Slice 130/155 | 240x240
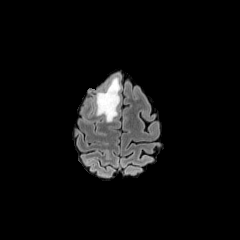
FLAIR magnetic resonance.
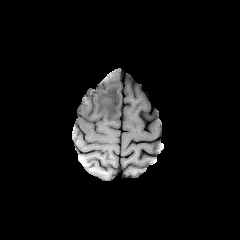
T1-weighted magnetic resonance.
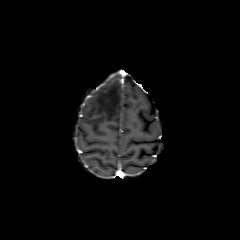
Same slice, post-contrast T1-weighted MRI.
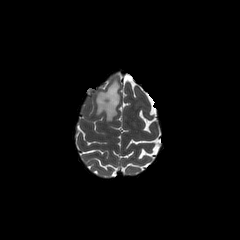
T2-weighted MR image.
The peritumoral edema is located at (95, 75, 120, 122).